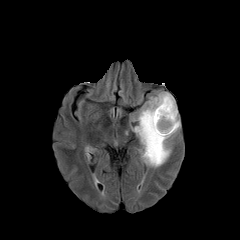
FLAIR MR.
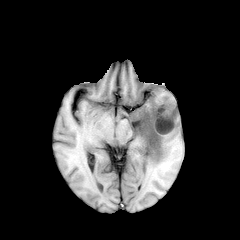
T1-weighted MR image.
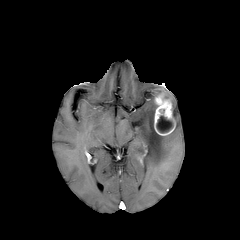
Post-contrast T1-weighted magnetic resonance.
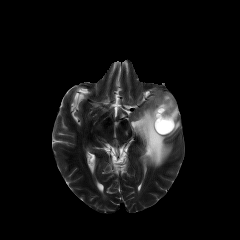
T2-weighted MR.
Axial plane | Brain | 240x240 px
necrotic tumor core: bounding box (156,116,173,132)
enhancing tumor: bounding box (154,93,175,135)
peritumoral edema: bounding box (132,91,180,167)